FLAIR MRI.
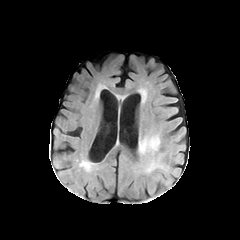
T1-weighted MR image.
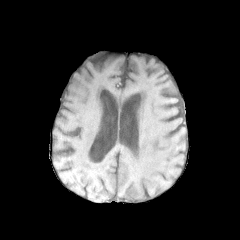
Post-contrast T1-weighted magnetic resonance.
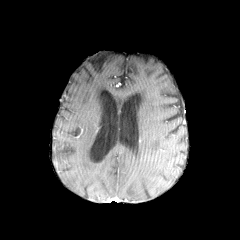
T2-weighted MR image.
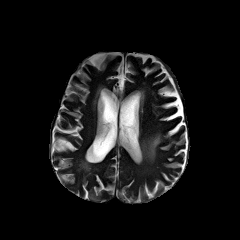
Brain, Axial view
Segmented structures:
• peritumoral edema: [x1=139, y1=135, x2=160, y2=155]